FLAIR magnetic resonance.
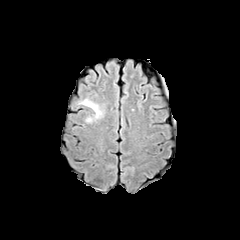
T1-weighted MRI.
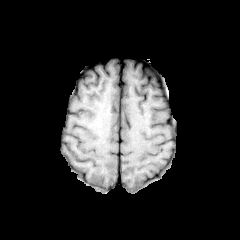
Post-contrast T1-weighted MR.
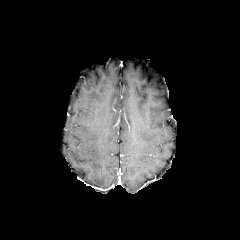
T2-weighted MR image.
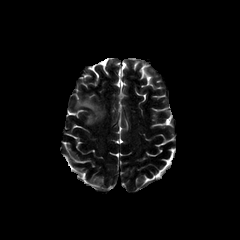
Head, 240x240 px
peritumoral_edema:
  - (77,98,104,123)